Axial view; Brain; 240x240; Slice 117 of 155
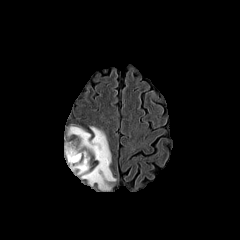
FLAIR magnetic resonance.
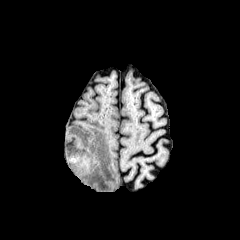
T1-weighted MRI of the same slice.
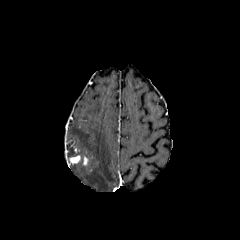
Same slice, post-contrast T1-weighted MR.
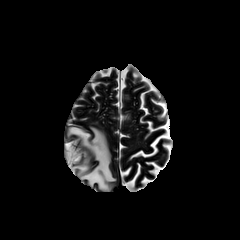
T2-weighted MRI.
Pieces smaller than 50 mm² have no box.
Annotated regions:
- enhancing tumor: 67,155,80,163
- peritumoral edema: 66,126,116,191